FLAIR MR image.
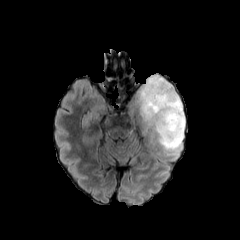
T1-weighted MR image.
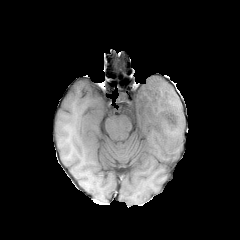
Post-contrast T1-weighted MR.
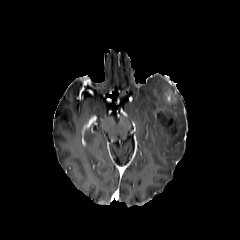
T2-weighted MR image.
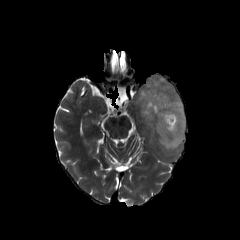
240x240, Head
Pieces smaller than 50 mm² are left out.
Findings:
• peritumoral edema: 135:75:185:154
• enhancing tumor: 155:109:177:135
• necrotic tumor core: 157:112:172:127